FLAIR MRI.
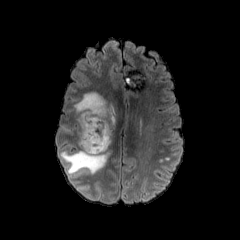
T1-weighted magnetic resonance.
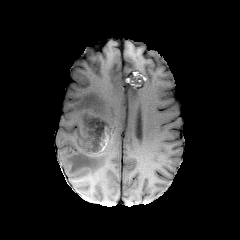
Post-contrast T1-weighted MRI.
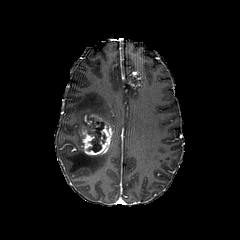
T2-weighted MR.
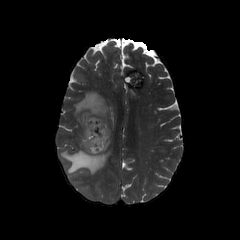
Image size 240x240 | Brain | Axial plane
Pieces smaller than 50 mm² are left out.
The necrotic tumor core is located at [x1=85, y1=118, x2=106, y2=152]. The largest enhancing tumor region is bounded by [x1=82, y1=114, x2=112, y2=155]. The peritumoral edema lies within [x1=60, y1=91, x2=117, y2=175].